Slice index 81 | Axial view
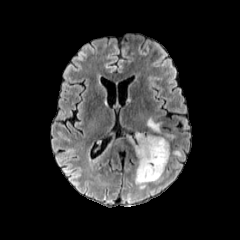
FLAIR MRI.
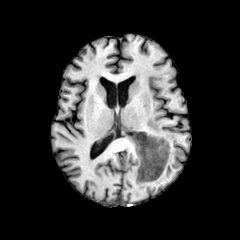
Same slice, T1-weighted MRI.
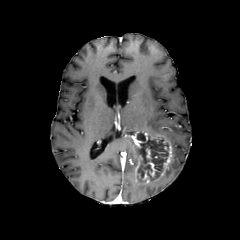
Post-contrast T1-weighted magnetic resonance.
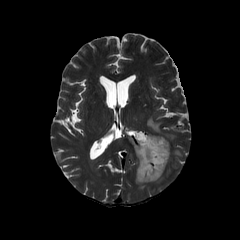
T2-weighted MR image of the same slice.
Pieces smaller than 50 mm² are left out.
necrotic tumor core: bounding box (137,134,168,178)
enhancing tumor: bounding box (135,131,173,183)
peritumoral edema: bounding box (173,149,183,157), (147,118,161,134), (164,134,175,140), (127,135,137,155)